FLAIR MRI.
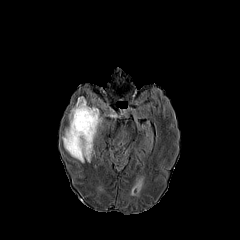
T1-weighted magnetic resonance.
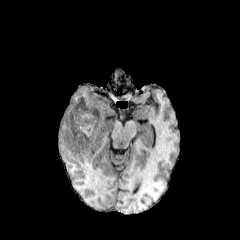
Post-contrast T1-weighted MR.
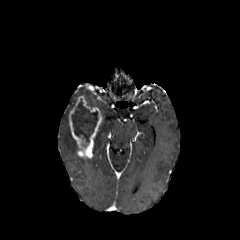
T2-weighted MR.
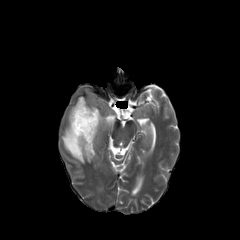
Image size 240x240 | Brain
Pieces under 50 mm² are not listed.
The largest peritumoral edema region is at 62 126 84 162. The enhancing tumor appears at 69 96 102 159. The largest necrotic tumor core region lies within 71 99 98 144.